Image covers 240 mm x 240 mm. Brain.
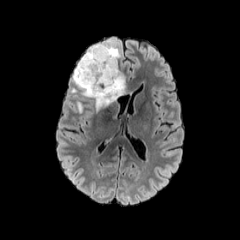
FLAIR magnetic resonance.
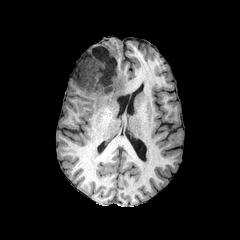
T1-weighted MRI.
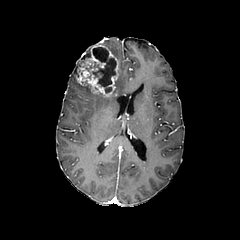
Post-contrast T1-weighted MR image of the same slice.
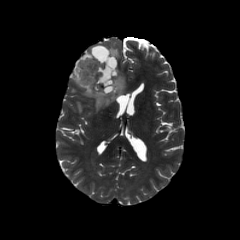
T2-weighted MRI.
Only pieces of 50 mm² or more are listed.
* peritumoral edema: (72,47,125,111), (106,44,119,59), (77,102,82,112)
* necrotic tumor core: (86,47,116,92)
* enhancing tumor: (76,43,118,96)